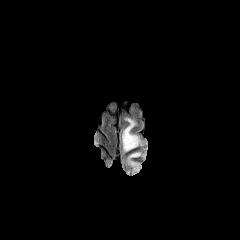
FLAIR MR image.
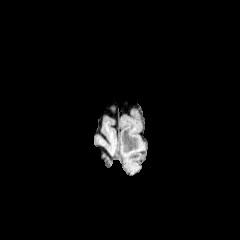
T1-weighted MR.
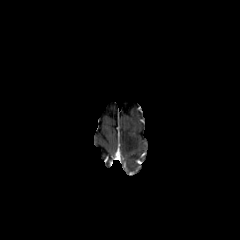
Post-contrast T1-weighted MRI.
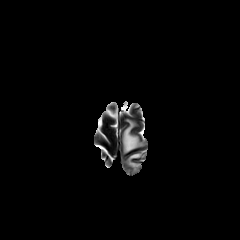
T2-weighted magnetic resonance.
Head
peritumoral edema: 122:118:143:152, 127:152:140:170